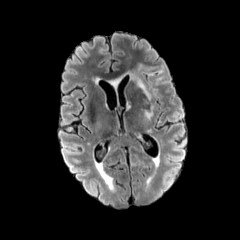
FLAIR MR image.
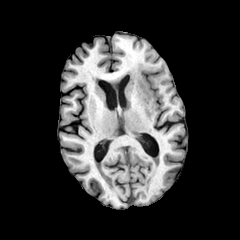
T1-weighted MRI.
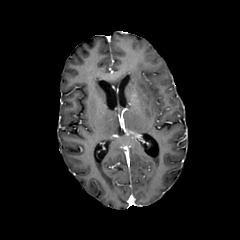
Post-contrast T1-weighted MRI of the same slice.
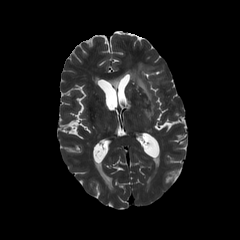
T2-weighted MR.
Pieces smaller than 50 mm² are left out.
peritumoral edema = <bbox>145, 105, 153, 119</bbox>, <bbox>128, 64, 153, 99</bbox>